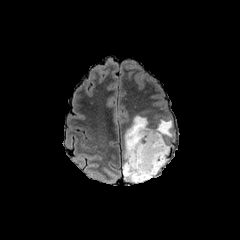
FLAIR MRI.
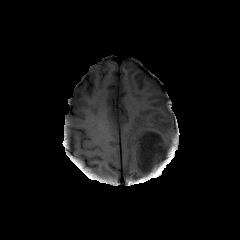
T1-weighted MRI.
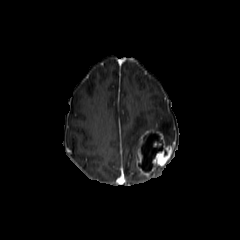
Post-contrast T1-weighted MR image.
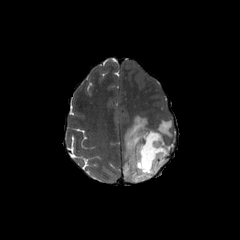
Same slice, T2-weighted MR.
Axial view. Brain.
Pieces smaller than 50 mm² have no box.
enhancing tumor at 136 130 172 178
peritumoral edema at 123 115 173 182
necrotic tumor core at 138 132 163 172